Image size 240x240. Axial view.
FLAIR MR.
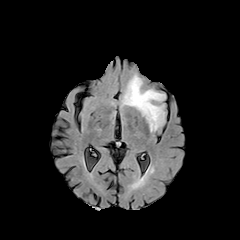
T1-weighted MR.
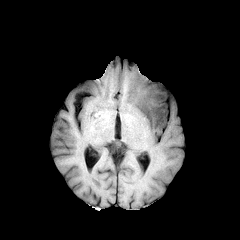
Post-contrast T1-weighted MR.
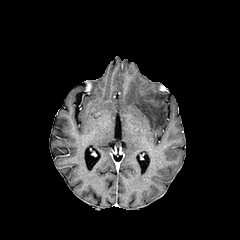
T2-weighted MR.
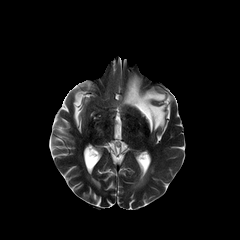
peritumoral edema = box(123, 75, 165, 131)